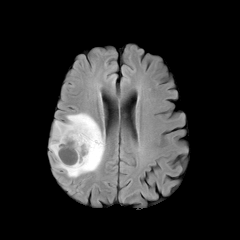
FLAIR MRI.
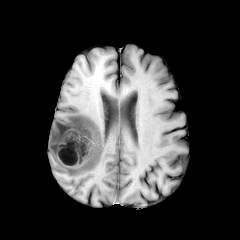
T1-weighted MRI of the same slice.
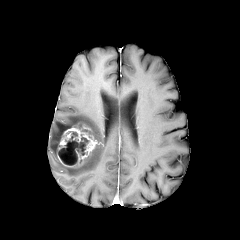
Same slice, post-contrast T1-weighted MR.
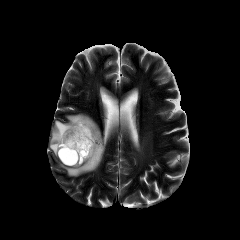
T2-weighted MR of the same slice.
Head; Axial view; 240x240 px
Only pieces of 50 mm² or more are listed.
The peritumoral edema is bounded by 49,113,105,177. The largest necrotic tumor core region is bounded by 59,132,88,165. The enhancing tumor is bounded by 57,123,97,167.